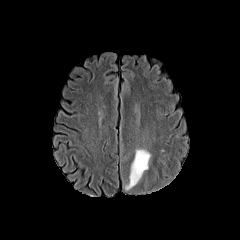
FLAIR MRI.
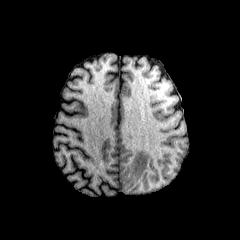
T1-weighted MR image.
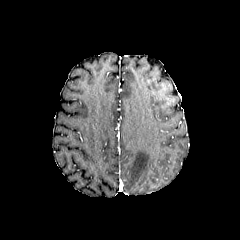
Post-contrast T1-weighted MR image.
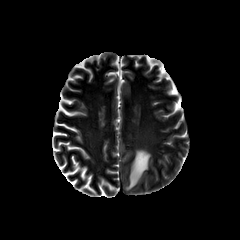
Same slice, T2-weighted magnetic resonance.
Brain; Axial slice; 240x240
The peritumoral edema is at box=[125, 149, 150, 190].